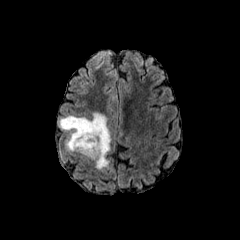
FLAIR MR.
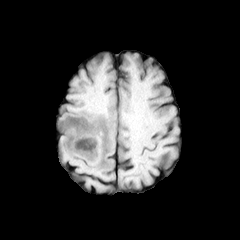
Same slice, T1-weighted MR.
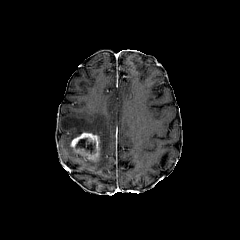
Post-contrast T1-weighted MR.
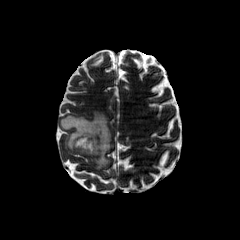
T2-weighted magnetic resonance.
240x240, Brain
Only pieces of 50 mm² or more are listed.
necrotic tumor core — {"x1": 75, "y1": 138, "x2": 95, "y2": 153}
peritumoral edema — {"x1": 59, "y1": 112, "x2": 111, "y2": 169}
enhancing tumor — {"x1": 70, "y1": 132, "x2": 100, "y2": 161}